Axial view. Brain.
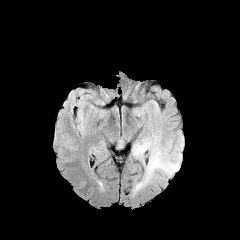
FLAIR MR image.
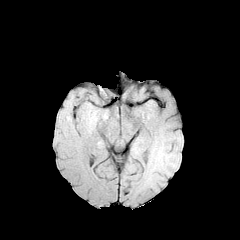
T1-weighted MRI.
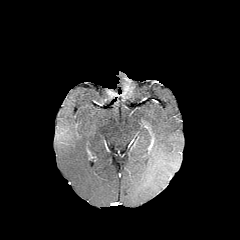
Post-contrast T1-weighted MR image.
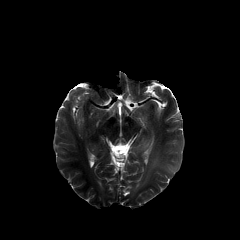
T2-weighted magnetic resonance of the same slice.
peritumoral_edema:
  - l=133, t=90, r=182, b=189